Head. Slice index 83.
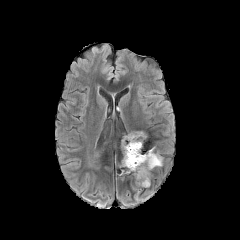
FLAIR MRI.
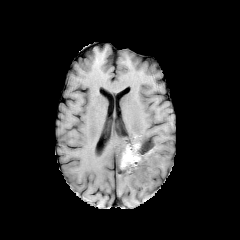
Same slice, T1-weighted MRI.
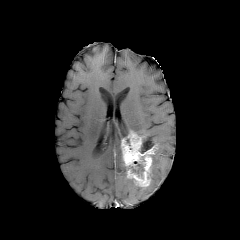
Post-contrast T1-weighted MR of the same slice.
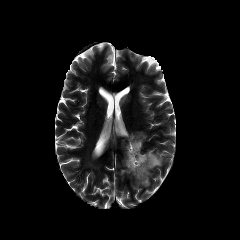
T2-weighted MR image.
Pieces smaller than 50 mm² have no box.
peritumoral edema at x1=152 y1=153 x2=162 y2=168
enhancing tumor at x1=121 y1=131 x2=154 y2=186
necrotic tumor core at x1=140 y1=142 x2=151 y2=153, x1=130 y1=161 x2=143 y2=173